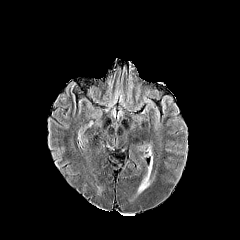
FLAIR MRI.
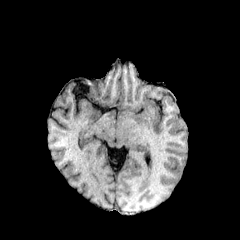
Same slice, T1-weighted MR.
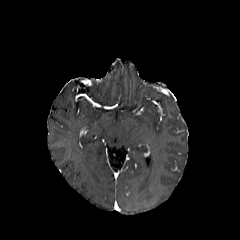
Post-contrast T1-weighted MR.
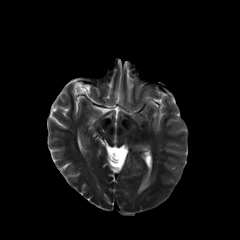
Same slice, T2-weighted MRI.
Head, Axial view
<segmentation>
  <peritumoral_edema>[138, 159, 152, 192]</peritumoral_edema>
</segmentation>